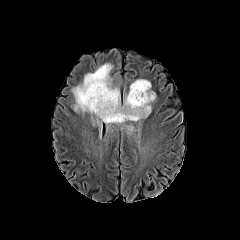
FLAIR MR image.
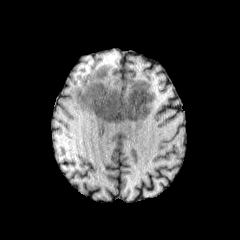
Same slice, T1-weighted magnetic resonance.
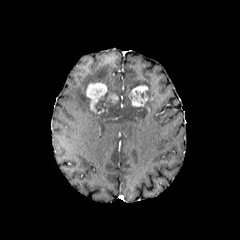
Same slice, post-contrast T1-weighted MRI.
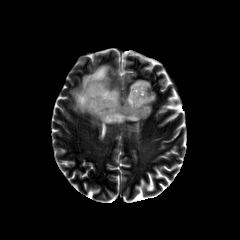
T2-weighted MR.
Axial plane
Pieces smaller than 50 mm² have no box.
enhancing_tumor:
  - left=86, top=82, right=107, bottom=113
  - left=109, top=94, right=117, bottom=102
  - left=129, top=85, right=148, bottom=106
peritumoral_edema:
  - left=72, top=64, right=155, bottom=128
  - left=126, top=125, right=134, bottom=133
necrotic_tumor_core:
  - left=106, top=106, right=131, bottom=120
  - left=95, top=91, right=115, bottom=113
  - left=133, top=91, right=152, bottom=118